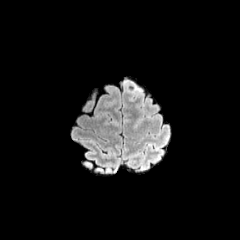
FLAIR MR.
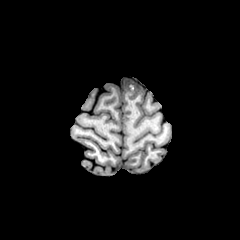
T1-weighted MR image.
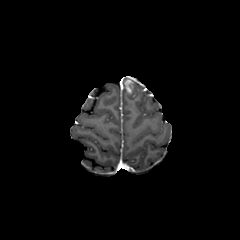
Post-contrast T1-weighted MR of the same slice.
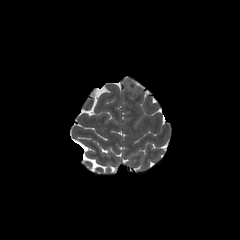
Same slice, T2-weighted magnetic resonance.
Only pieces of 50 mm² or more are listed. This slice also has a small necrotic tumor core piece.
enhancing tumor = 124,78,134,93
peritumoral edema = 132,85,141,93